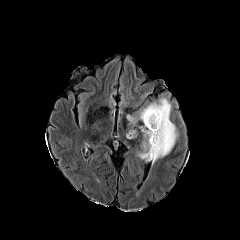
FLAIR magnetic resonance.
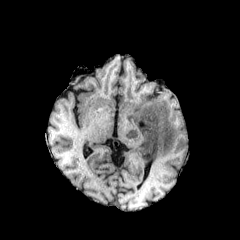
Same slice, T1-weighted MR image.
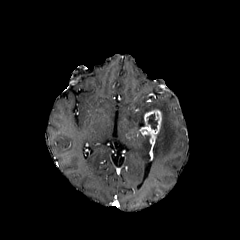
Same slice, post-contrast T1-weighted MRI.
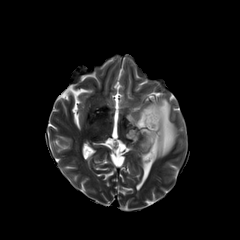
Same slice, T2-weighted magnetic resonance.
Brain; Axial plane
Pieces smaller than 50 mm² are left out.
• enhancing tumor: [126,109,161,155]
• peritumoral edema: [137,138,149,161], [126,98,178,163]
• necrotic tumor core: [147,113,157,129], [141,134,150,143]